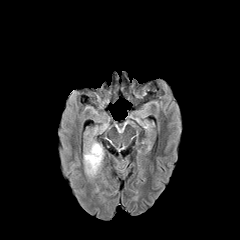
FLAIR MR image.
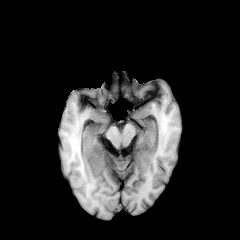
T1-weighted MR image.
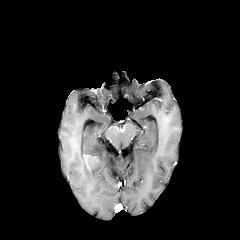
Post-contrast T1-weighted magnetic resonance of the same slice.
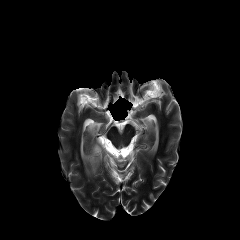
T2-weighted magnetic resonance.
Axial slice
The peritumoral edema is located at 84, 142, 103, 175. The enhancing tumor lies within 85, 155, 97, 163.